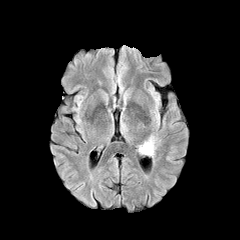
FLAIR MR.
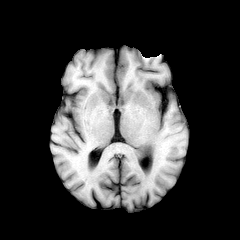
T1-weighted MR image.
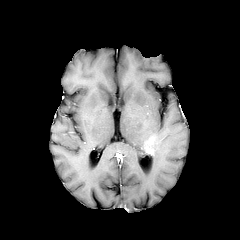
Post-contrast T1-weighted MR image.
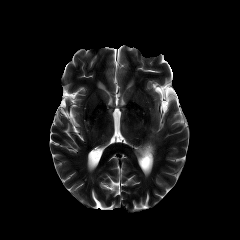
T2-weighted MR image of the same slice.
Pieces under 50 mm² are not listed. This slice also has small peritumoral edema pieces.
The enhancing tumor is located at x1=143, y1=132, x2=160, y2=157.